FLAIR magnetic resonance.
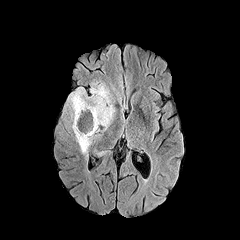
T1-weighted MR.
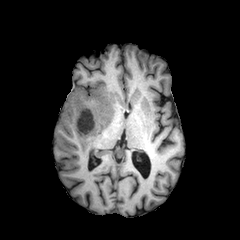
Post-contrast T1-weighted MR image.
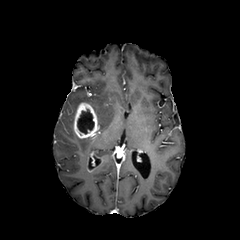
T2-weighted magnetic resonance.
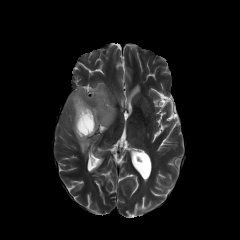
Axial view; Head
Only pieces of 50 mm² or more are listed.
Segmented structures:
- necrotic tumor core: (left=77, top=109, right=94, bottom=133)
- enhancing tumor: (left=73, top=102, right=98, bottom=138), (left=88, top=153, right=103, bottom=171)
- peritumoral edema: (left=68, top=83, right=115, bottom=131), (left=75, top=134, right=92, bottom=156)